FLAIR MRI.
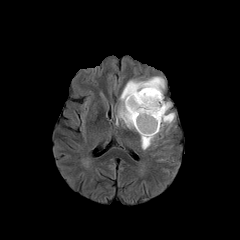
T1-weighted MR image.
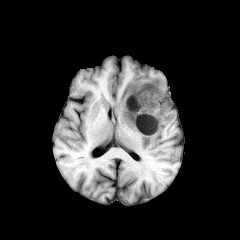
Post-contrast T1-weighted magnetic resonance.
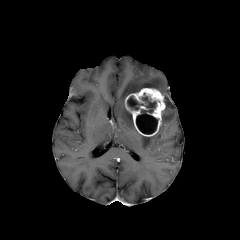
T2-weighted magnetic resonance.
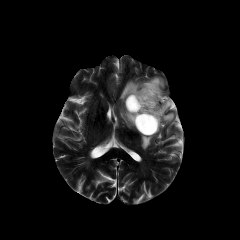
peritumoral edema — x1=158, y1=101, x2=174, y2=132; x1=116, y1=76, x2=165, y2=128; x1=140, y1=134, x2=155, y2=149
enhancing tumor — x1=125, y1=88, x2=165, y2=136
necrotic tumor core — x1=136, y1=96, x2=157, y2=134; x1=127, y1=96, x2=143, y2=109